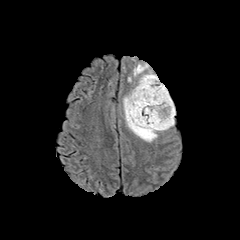
FLAIR MR.
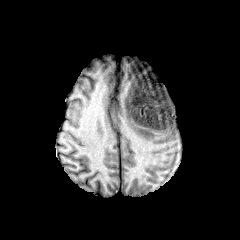
Same slice, T1-weighted MR.
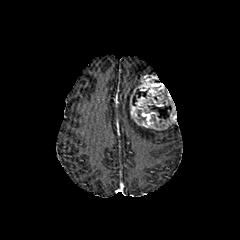
Post-contrast T1-weighted MR.
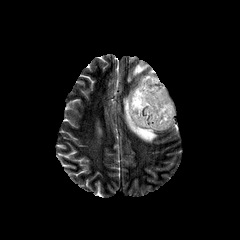
T2-weighted MR.
240x240 px. Axial plane.
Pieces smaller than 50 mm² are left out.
The 2 largest peritumoral edema regions appear at 123:92:157:142, 133:63:148:76. The largest enhancing tumor region lies within 129:74:176:130. The 2 largest necrotic tumor core regions appear at 148:105:171:119, 132:89:146:105.